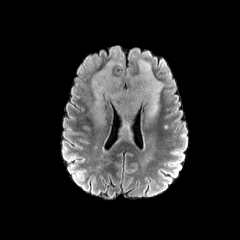
FLAIR MRI.
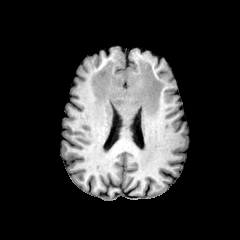
T1-weighted MR image.
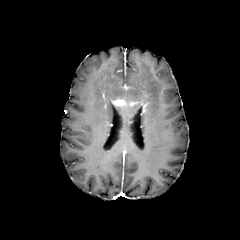
Same slice, post-contrast T1-weighted magnetic resonance.
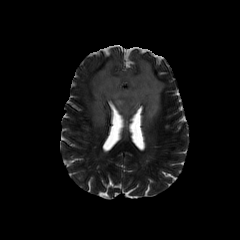
T2-weighted MR.
Axial plane, 240x240, Brain
peritumoral_edema:
  - 92,59,163,138
enhancing_tumor:
  - 114,99,138,106